FLAIR magnetic resonance.
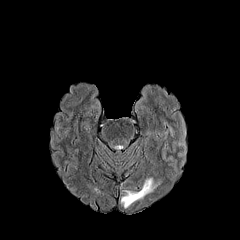
T1-weighted MR image.
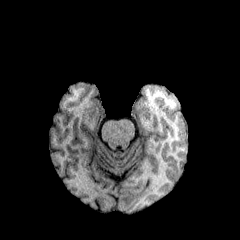
Post-contrast T1-weighted MR.
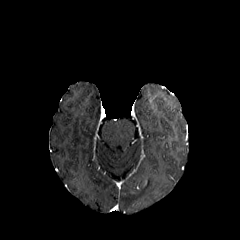
T2-weighted MR.
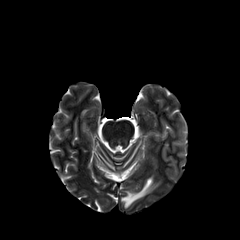
<segmentation>
  <peritumoral_edema>(121,177,160,208)</peritumoral_edema>
</segmentation>